FLAIR MR image.
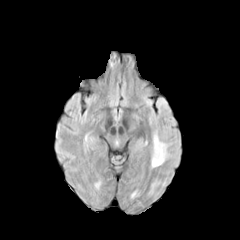
T1-weighted MR.
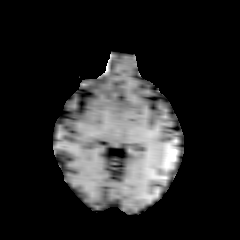
Post-contrast T1-weighted magnetic resonance.
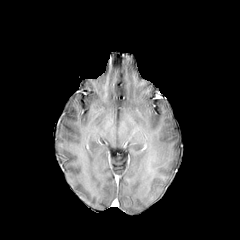
T2-weighted magnetic resonance.
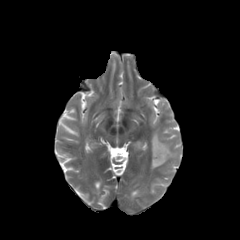
Head
The peritumoral edema lies within (151, 132, 169, 167).